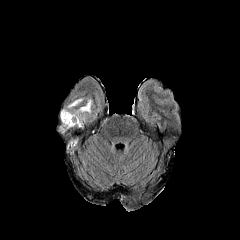
FLAIR MRI.
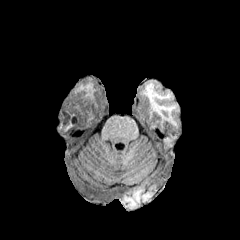
Same slice, T1-weighted MR image.
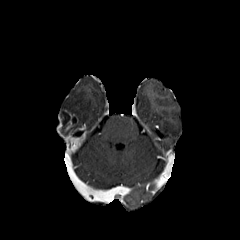
Post-contrast T1-weighted MR image.
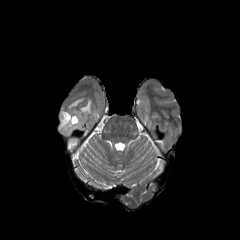
T2-weighted MR.
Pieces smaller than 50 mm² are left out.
peritumoral edema — <box>60,98,96,127</box>
necrotic tumor core — <box>60,112,77,135</box>
enhancing tumor — <box>57,119,80,152</box>, <box>65,110,74,130</box>